Slice 110 of 155, Brain, 240x240
FLAIR MRI.
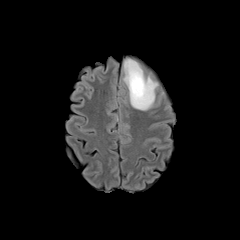
T1-weighted MR image.
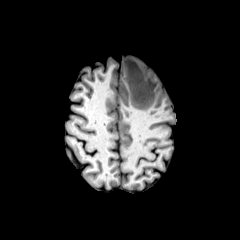
Post-contrast T1-weighted MR.
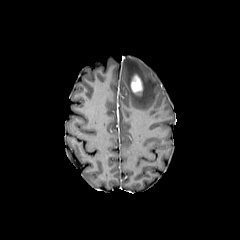
T2-weighted MRI.
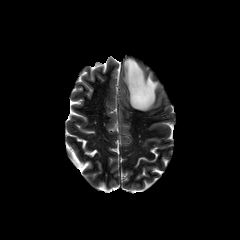
enhancing tumor — <bbox>131, 75, 142, 94</bbox>
peritumoral edema — <bbox>124, 59, 157, 110</bbox>